Slice 78 of 155; Brain
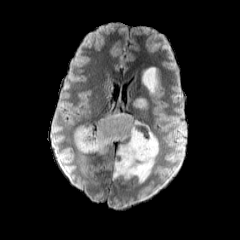
FLAIR magnetic resonance.
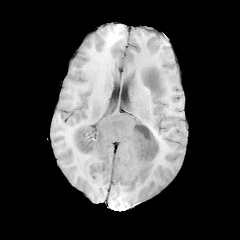
T1-weighted MR of the same slice.
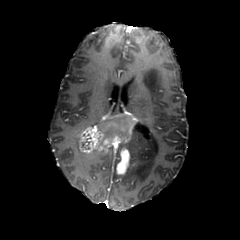
Post-contrast T1-weighted MR of the same slice.
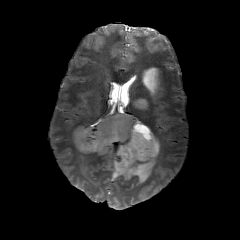
T2-weighted MRI.
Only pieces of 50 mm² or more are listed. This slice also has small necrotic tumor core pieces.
<segmentation>
  <enhancing_tumor>[77, 112, 140, 174]</enhancing_tumor>
  <peritumoral_edema>[133, 98, 147, 109], [142, 67, 158, 94], [113, 121, 159, 183], [74, 126, 85, 147]</peritumoral_edema>
</segmentation>